FLAIR MRI.
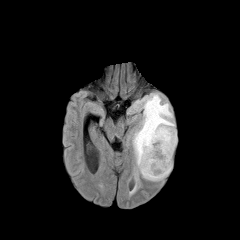
T1-weighted MRI.
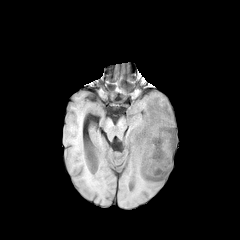
Post-contrast T1-weighted magnetic resonance.
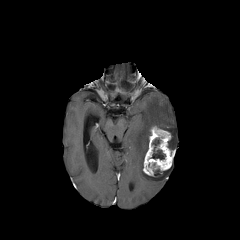
T2-weighted magnetic resonance.
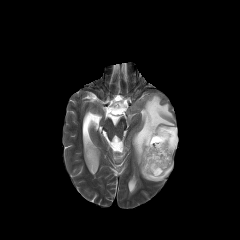
Axial slice.
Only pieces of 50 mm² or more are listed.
peritumoral edema: bbox=[132, 93, 177, 181] | necrotic tumor core: bbox=[152, 148, 164, 159] | enhancing tumor: bbox=[143, 126, 174, 176]